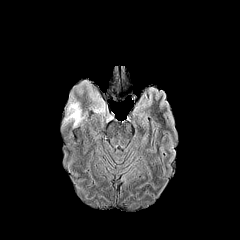
FLAIR MR.
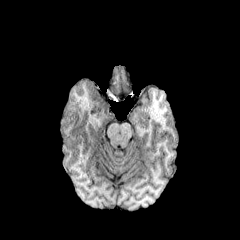
T1-weighted MRI of the same slice.
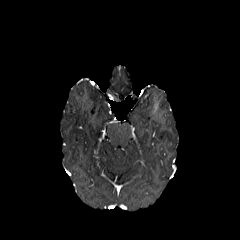
Post-contrast T1-weighted MR image.
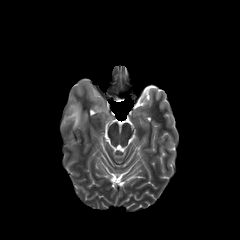
Same slice, T2-weighted MR.
240x240 px
2 peritumoral edema regions are located at l=64, t=99, r=84, b=127; l=92, t=95, r=105, b=115.